Axial plane. 240x240. Head. Slice 84 of 155.
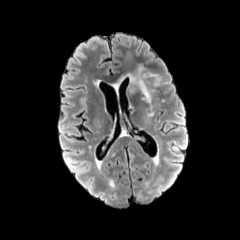
FLAIR MR.
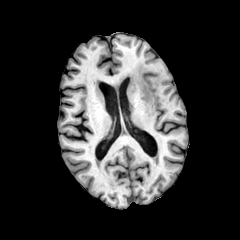
T1-weighted MR image.
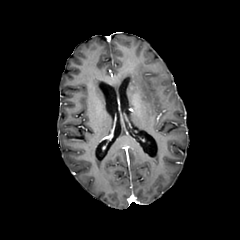
Post-contrast T1-weighted MRI.
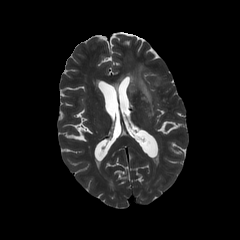
T2-weighted MRI.
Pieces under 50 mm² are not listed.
peritumoral_edema:
  - (x1=153, y1=75, x2=160, y2=85)
  - (x1=127, y1=65, x2=152, y2=109)